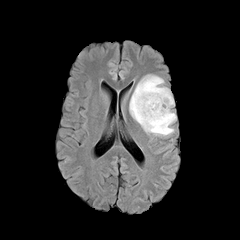
FLAIR magnetic resonance.
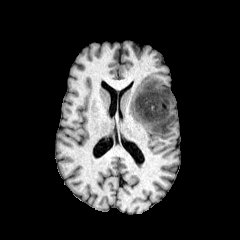
T1-weighted MR.
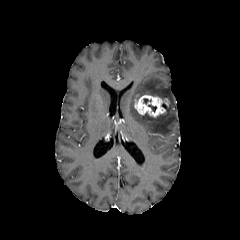
Post-contrast T1-weighted MR image.
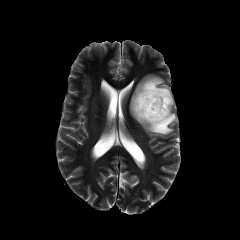
T2-weighted magnetic resonance.
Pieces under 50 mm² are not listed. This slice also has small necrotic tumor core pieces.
enhancing_tumor:
  - left=134, top=94, right=169, bottom=117
peritumoral_edema:
  - left=129, top=75, right=176, bottom=135